FLAIR MRI.
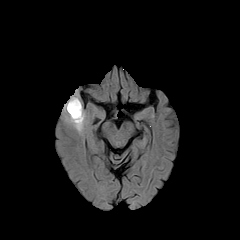
T1-weighted MR.
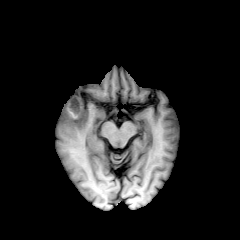
Post-contrast T1-weighted MR.
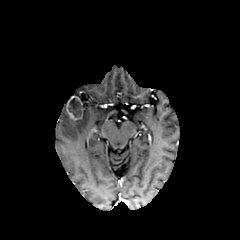
T2-weighted MR image.
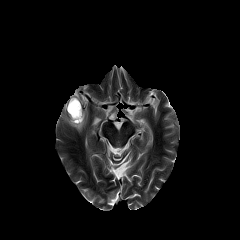
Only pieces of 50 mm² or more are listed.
<segmentation>
  <peritumoral_edema>region(62, 103, 86, 132)</peritumoral_edema>
  <necrotic_tumor_core>region(68, 98, 82, 117)</necrotic_tumor_core>
  <enhancing_tumor>region(66, 95, 82, 120)</enhancing_tumor>
</segmentation>